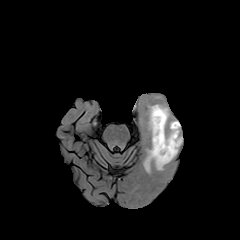
FLAIR magnetic resonance.
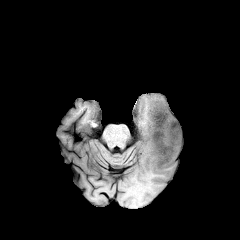
Same slice, T1-weighted MR.
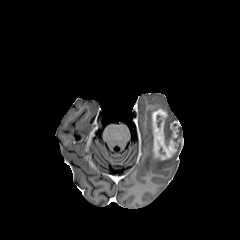
Post-contrast T1-weighted MRI.
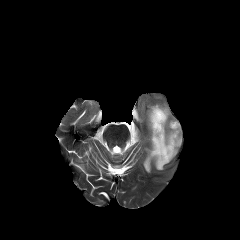
T2-weighted MR.
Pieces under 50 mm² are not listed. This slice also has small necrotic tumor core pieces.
<segmentation>
  <peritumoral_edema>143, 104, 182, 172; 165, 126, 170, 139</peritumoral_edema>
  <enhancing_tumor>151, 107, 182, 160</enhancing_tumor>
</segmentation>